FLAIR MR image.
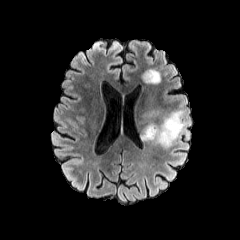
T1-weighted MRI.
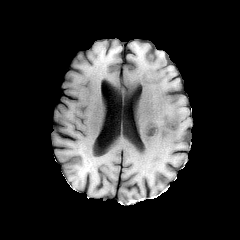
Post-contrast T1-weighted MR image.
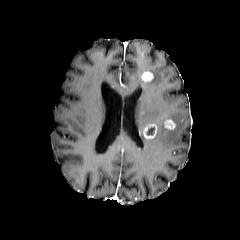
T2-weighted MR image.
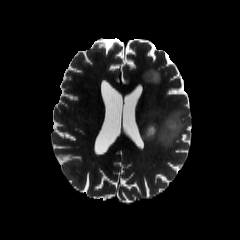
Brain, Image size 240x240
{
  "peritumoral_edema": [
    "x1=142, y1=69, x2=160, y2=83",
    "x1=139, y1=110, x2=189, y2=147"
  ],
  "necrotic_tumor_core": [
    "x1=146, y1=126, x2=155, y2=135"
  ],
  "enhancing_tumor": [
    "x1=143, y1=124, x2=157, y2=139",
    "x1=142, y1=72, x2=153, y2=81",
    "x1=164, y1=119, x2=176, y2=130"
  ]
}